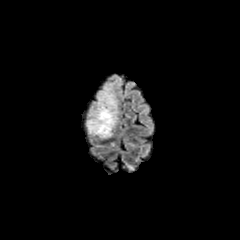
FLAIR MR.
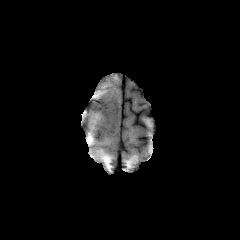
T1-weighted MR of the same slice.
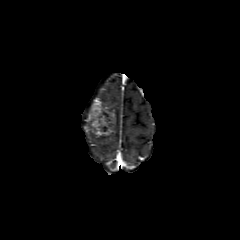
Post-contrast T1-weighted MRI of the same slice.
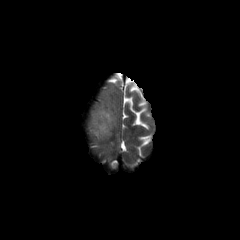
T2-weighted MR image of the same slice.
Axial plane
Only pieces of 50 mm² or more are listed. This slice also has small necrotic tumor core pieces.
{
  "enhancing_tumor": [
    "[86,98,115,136]"
  ],
  "peritumoral_edema": [
    "[97,89,118,128]"
  ]
}